FLAIR MRI.
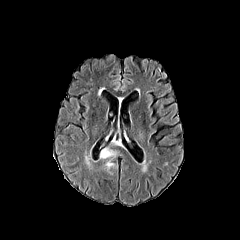
T1-weighted MR image.
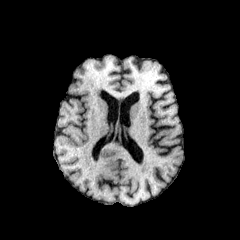
Post-contrast T1-weighted MR.
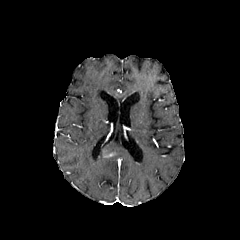
T2-weighted MR.
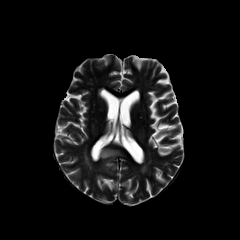
240x240.
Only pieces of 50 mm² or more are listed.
Annotated regions:
- enhancing tumor: [103, 150, 115, 157]
- peritumoral edema: [100, 148, 121, 159], [104, 160, 114, 170]